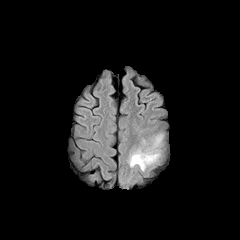
FLAIR magnetic resonance.
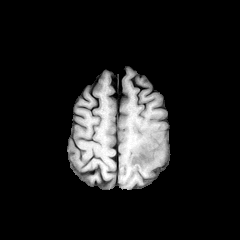
Same slice, T1-weighted magnetic resonance.
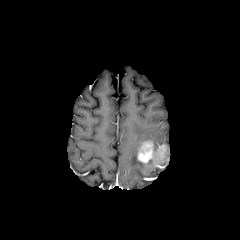
Post-contrast T1-weighted MR.
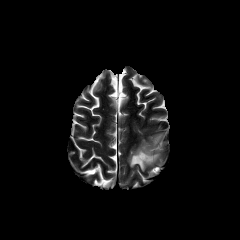
T2-weighted MR image of the same slice.
Head
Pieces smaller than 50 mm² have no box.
{
  "enhancing_tumor": [
    "(left=137, top=141, right=165, bottom=165)"
  ],
  "peritumoral_edema": [
    "(left=128, top=133, right=164, bottom=171)"
  ]
}